Slice 88 of 155
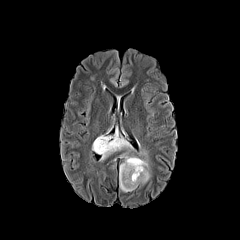
FLAIR MR.
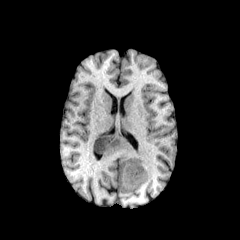
T1-weighted magnetic resonance.
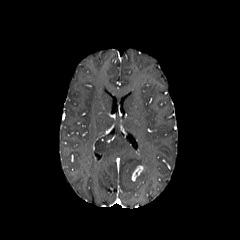
Same slice, post-contrast T1-weighted magnetic resonance.
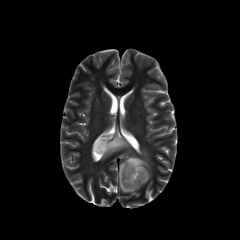
T2-weighted MR image.
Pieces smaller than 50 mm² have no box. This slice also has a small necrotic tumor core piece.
The 2 largest peritumoral edema regions are located at left=93, top=130, right=132, bottom=159; left=119, top=150, right=150, bottom=192. The enhancing tumor is bounded by left=131, top=165, right=143, bottom=181.